FLAIR MRI.
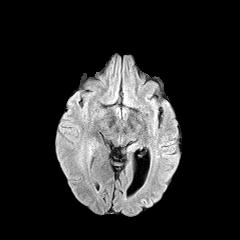
T1-weighted MR.
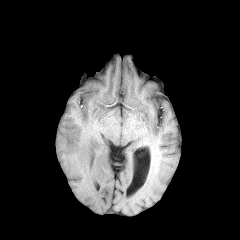
Post-contrast T1-weighted MR.
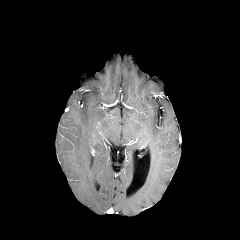
T2-weighted MR image.
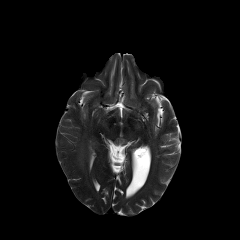
Axial plane; 240x240
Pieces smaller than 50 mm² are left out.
The largest peritumoral edema region is at x1=88, y1=144, x2=93, y2=158.